FLAIR MR image.
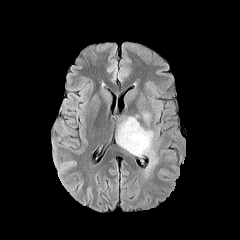
T1-weighted MR image.
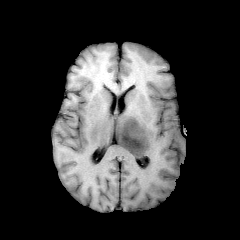
Post-contrast T1-weighted magnetic resonance.
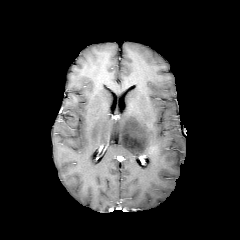
T2-weighted magnetic resonance.
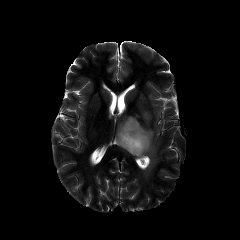
Head, Axial plane
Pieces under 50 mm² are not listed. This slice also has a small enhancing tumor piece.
2 peritumoral edema regions appear at <bbox>116, 115, 157, 174</bbox>, <bbox>142, 112, 150, 122</bbox>.